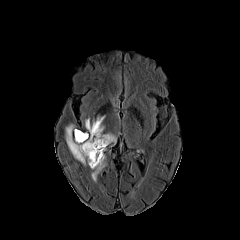
FLAIR magnetic resonance.
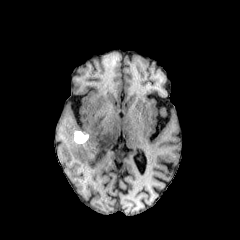
Same slice, T1-weighted magnetic resonance.
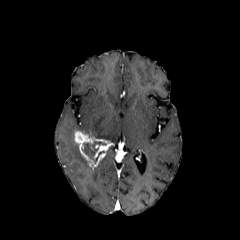
Post-contrast T1-weighted MR of the same slice.
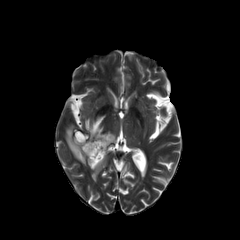
Same slice, T2-weighted MR image.
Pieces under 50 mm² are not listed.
peritumoral edema = <box>91,156,106,181</box>, <box>65,116,116,165</box>
necrotic tumor core = <box>82,142,105,157</box>
enhancing tumor = <box>78,136,112,168</box>